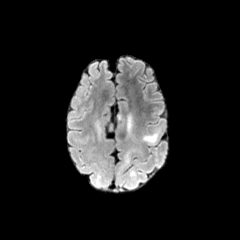
FLAIR MR.
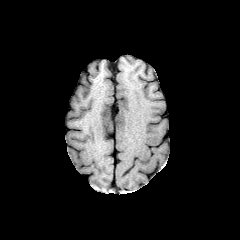
T1-weighted MR.
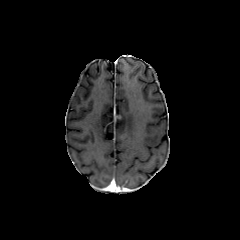
Post-contrast T1-weighted MR image.
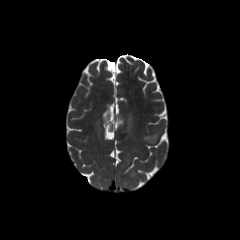
T2-weighted MRI.
Image size 240x240
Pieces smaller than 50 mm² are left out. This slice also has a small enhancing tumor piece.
Findings:
- peritumoral edema: (126, 113, 132, 133), (143, 133, 157, 143)